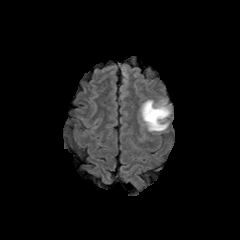
FLAIR MR image.
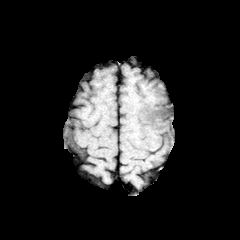
T1-weighted MR image.
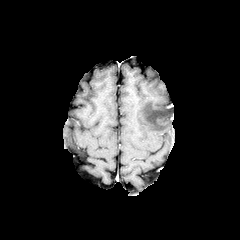
Same slice, post-contrast T1-weighted magnetic resonance.
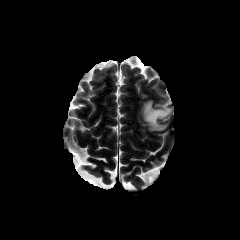
T2-weighted MR of the same slice.
The peritumoral edema appears at (left=141, top=100, right=170, bottom=131).